FLAIR MRI.
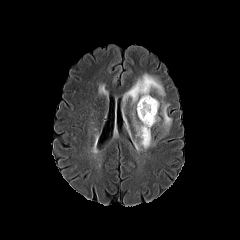
T1-weighted magnetic resonance.
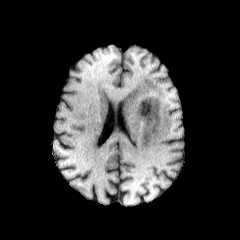
Post-contrast T1-weighted MR.
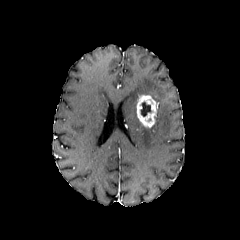
T2-weighted magnetic resonance.
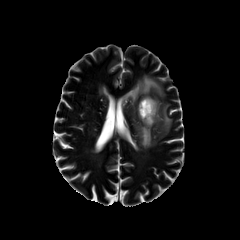
Axial slice | Head
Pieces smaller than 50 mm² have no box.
{"peritumoral_edema": ["bbox=[161, 102, 171, 134]", "bbox=[132, 112, 154, 150]", "bbox=[123, 74, 164, 107]"], "enhancing_tumor": ["bbox=[136, 95, 158, 127]"], "necrotic_tumor_core": ["bbox=[141, 102, 150, 116]"]}